Brain.
FLAIR MRI.
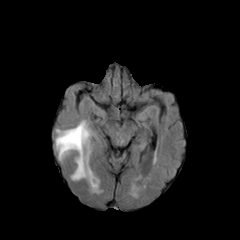
T1-weighted MR.
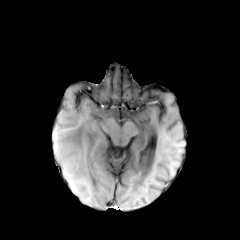
Post-contrast T1-weighted MR image.
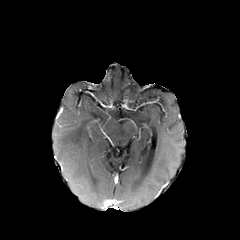
T2-weighted MR image.
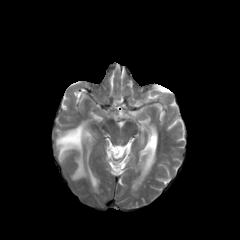
Segmented structures:
• peritumoral edema: 56 120 98 190